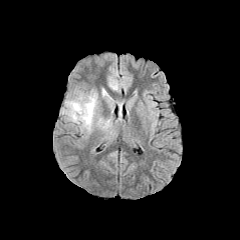
FLAIR MR image.
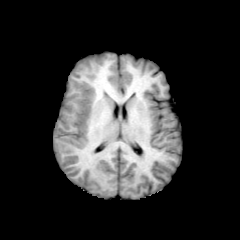
T1-weighted MR.
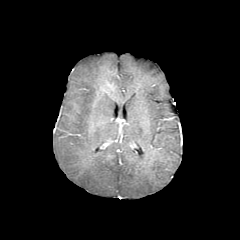
Post-contrast T1-weighted MR image.
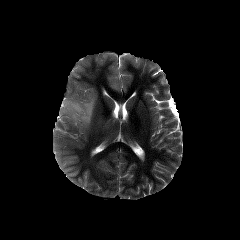
T2-weighted magnetic resonance.
Head
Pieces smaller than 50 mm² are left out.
peritumoral_edema:
  - 63,95,96,130